240x240 px; Brain; Slice 47 of 155
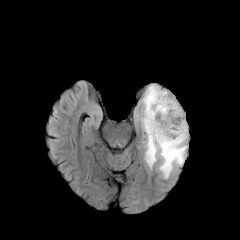
FLAIR MR image.
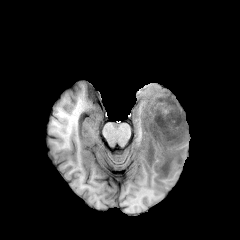
T1-weighted MR image.
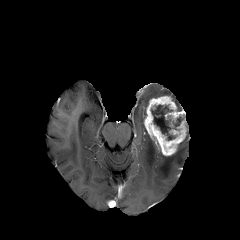
Post-contrast T1-weighted MR.
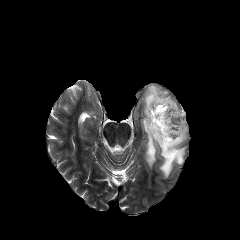
T2-weighted MRI of the same slice.
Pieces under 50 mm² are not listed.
The largest necrotic tumor core region appears at [151,105,174,140]. The largest peritumoral edema region is located at [141,84,188,178]. The largest enhancing tumor region is at [143,95,188,156].